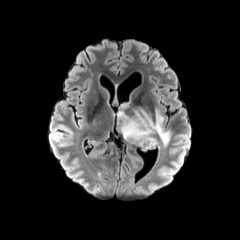
FLAIR MRI.
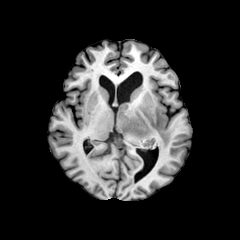
Same slice, T1-weighted magnetic resonance.
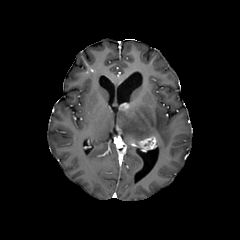
Post-contrast T1-weighted MRI.
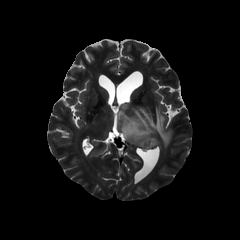
T2-weighted MR image.
Head
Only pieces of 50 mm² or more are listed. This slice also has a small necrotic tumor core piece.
Annotated regions:
* enhancing tumor: left=119, top=103, right=129, bottom=110; left=138, top=136, right=156, bottom=151
* peritumoral edema: left=117, top=107, right=170, bottom=146